240x240. Head. Slice 67 of 155.
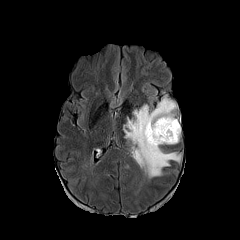
FLAIR MR image.
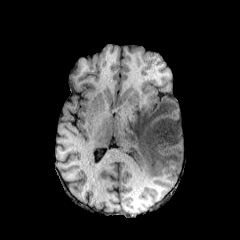
T1-weighted MR image.
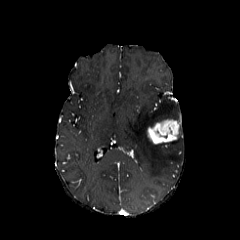
Post-contrast T1-weighted MR of the same slice.
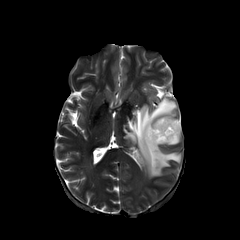
Same slice, T2-weighted MR image.
{"enhancing_tumor": ["bbox=[147, 119, 180, 144]"], "peritumoral_edema": ["bbox=[123, 96, 181, 178]"]}